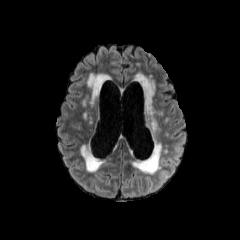
FLAIR magnetic resonance.
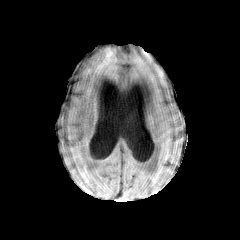
T1-weighted MR image.
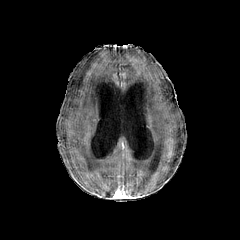
Post-contrast T1-weighted magnetic resonance.
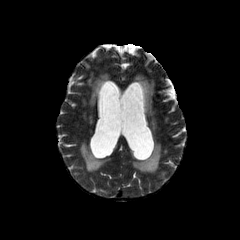
T2-weighted magnetic resonance.
Image size 240x240; Axial view
peritumoral edema: (x1=145, y1=115, x2=161, y2=131)